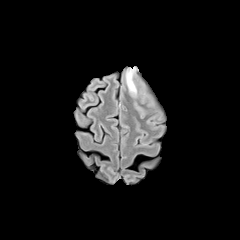
FLAIR MR.
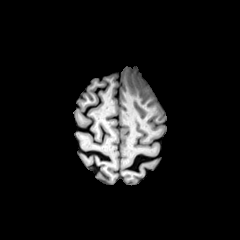
T1-weighted MRI.
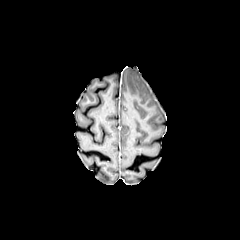
Post-contrast T1-weighted MRI.
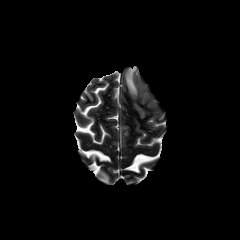
T2-weighted MRI of the same slice.
Brain
peritumoral edema: <bbox>126, 68, 136, 95</bbox>